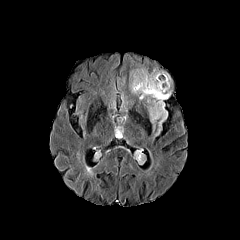
FLAIR MR.
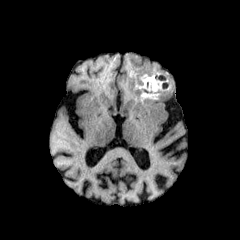
T1-weighted MRI of the same slice.
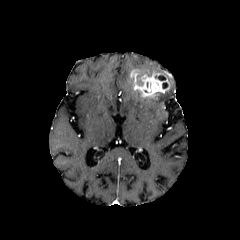
Same slice, post-contrast T1-weighted MRI.
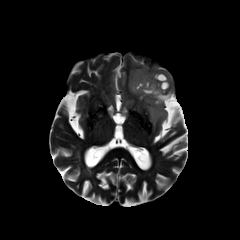
T2-weighted MRI of the same slice.
Brain
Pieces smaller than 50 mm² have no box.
enhancing tumor: box(130, 69, 170, 97) | peritumoral edema: box(130, 78, 144, 99); box(146, 89, 171, 131); box(137, 67, 151, 76) | necrotic tumor core: box(155, 75, 165, 80)